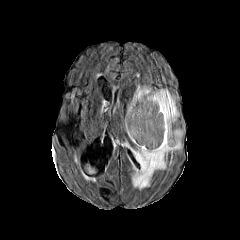
FLAIR MR.
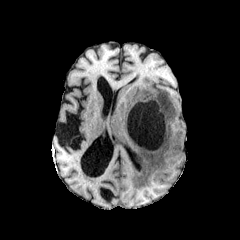
T1-weighted MRI.
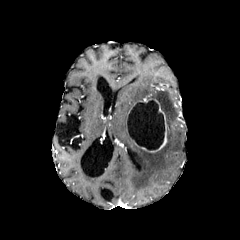
Post-contrast T1-weighted MRI of the same slice.
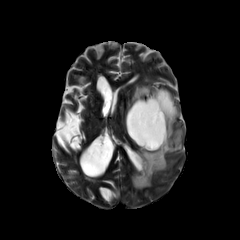
T2-weighted magnetic resonance.
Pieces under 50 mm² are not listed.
necrotic tumor core: l=127, t=99, r=164, b=150 | peritumoral edema: l=125, t=85, r=182, b=189 | enhancing tumor: l=132, t=99, r=167, b=152